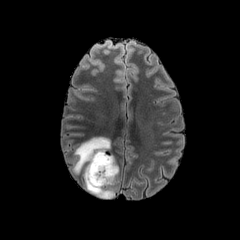
FLAIR MR image.
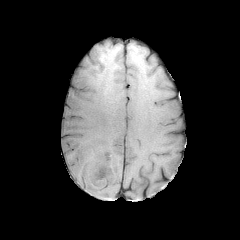
T1-weighted MR.
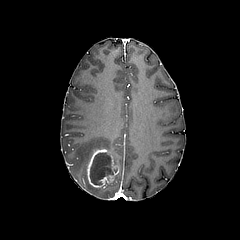
Post-contrast T1-weighted MRI.
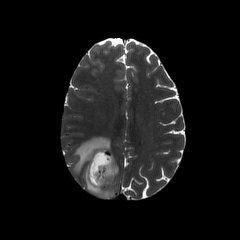
Same slice, T2-weighted MR image.
240x240 px, Head
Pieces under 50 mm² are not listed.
<segmentation>
  <necrotic_tumor_core><bbox>90, 153, 113, 184</bbox></necrotic_tumor_core>
  <peritumoral_edema><bbox>72, 137, 118, 198</bbox></peritumoral_edema>
  <enhancing_tumor><bbox>86, 148, 118, 188</bbox></enhancing_tumor>
</segmentation>